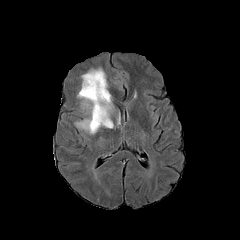
FLAIR MR.
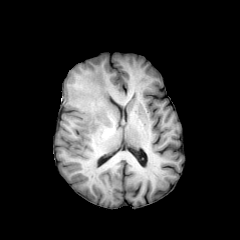
Same slice, T1-weighted MRI.
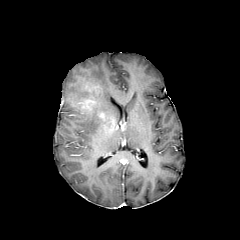
Post-contrast T1-weighted magnetic resonance.
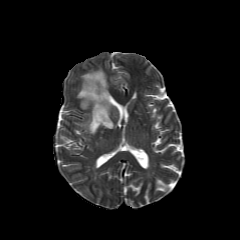
Same slice, T2-weighted MR.
Axial plane | Brain | 240x240 px
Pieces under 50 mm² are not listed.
enhancing tumor: (82,97,95,107), (85,83,100,97) | peritumoral edema: (78,69,113,133)